Image width 240 mm, 1.00 mm slice spacing. Image size 240x240.
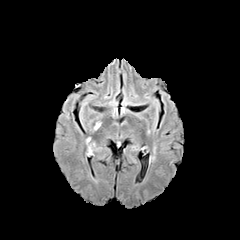
FLAIR magnetic resonance.
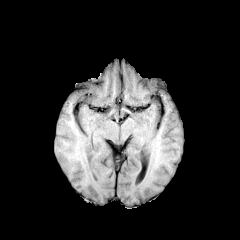
T1-weighted magnetic resonance of the same slice.
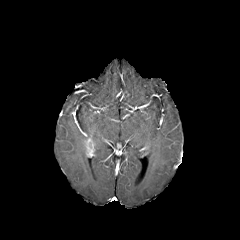
Post-contrast T1-weighted magnetic resonance.
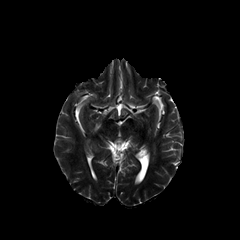
T2-weighted MR image.
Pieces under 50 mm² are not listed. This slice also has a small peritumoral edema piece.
enhancing tumor — 85, 138, 95, 155